Image covers 240 mm x 240 mm; 240x240
FLAIR MR image.
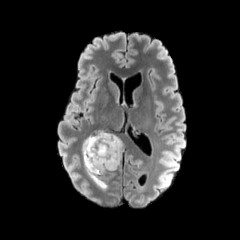
T1-weighted magnetic resonance.
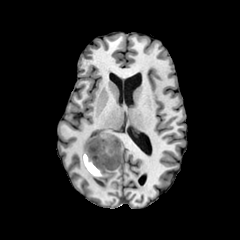
Post-contrast T1-weighted MR.
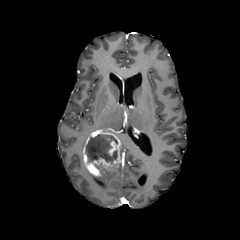
T2-weighted MRI.
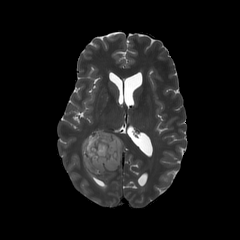
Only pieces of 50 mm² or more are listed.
Segmented structures:
* peritumoral edema: l=86, t=169, r=106, b=189; l=81, t=133, r=91, b=161
* necrotic tumor core: l=85, t=134, r=117, b=163
* enhancing tumor: l=82, t=130, r=121, b=177